FLAIR MR image.
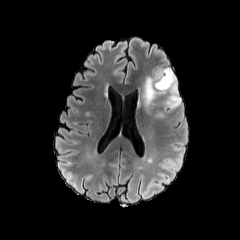
T1-weighted MR.
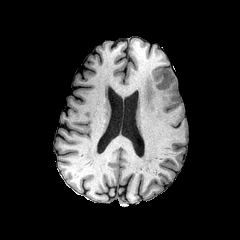
Post-contrast T1-weighted magnetic resonance.
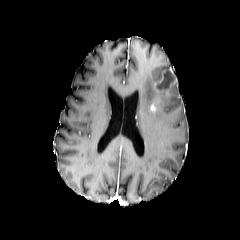
T2-weighted MR image.
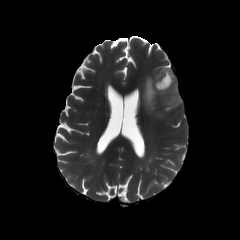
Axial slice
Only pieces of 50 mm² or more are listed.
enhancing tumor at (154, 69, 175, 96)
peritumoral edema at (138, 67, 181, 117)
necrotic tumor core at (157, 71, 173, 88)